Head, 240x240, Image width 240 mm
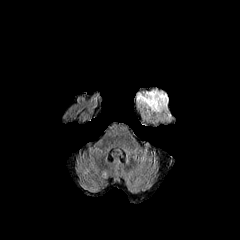
FLAIR magnetic resonance.
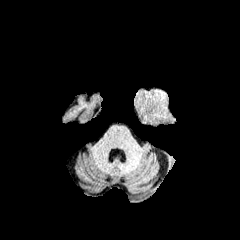
T1-weighted MRI.
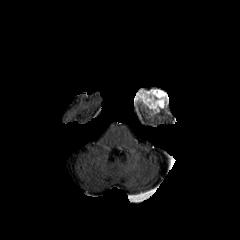
Post-contrast T1-weighted MRI.
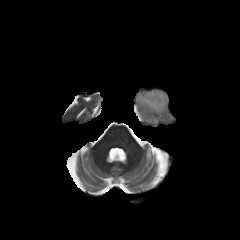
Same slice, T2-weighted MR.
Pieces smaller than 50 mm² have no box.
The largest enhancing tumor region appears at (left=134, top=89, right=168, bottom=115). The peritumoral edema is located at (left=137, top=104, right=171, bottom=123).